Image covers 240 mm x 240 mm | Head
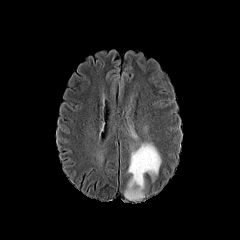
FLAIR MRI.
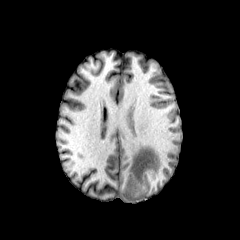
T1-weighted MR.
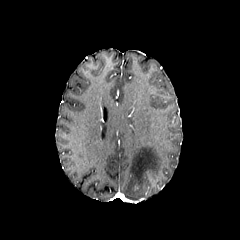
Post-contrast T1-weighted MRI.
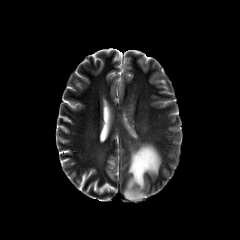
T2-weighted MR image.
peritumoral_edema:
  - [x1=123, y1=140, x2=161, y2=201]
  - [x1=128, y1=127, x2=138, y2=140]